Slice index 77, Axial view, Brain
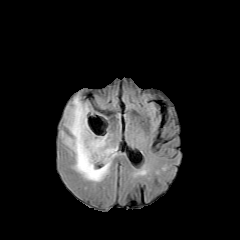
FLAIR MR image.
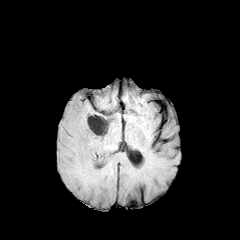
Same slice, T1-weighted MRI.
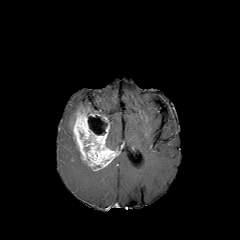
Post-contrast T1-weighted MRI of the same slice.
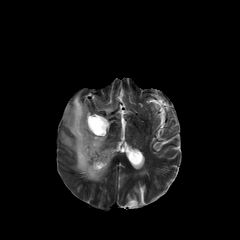
T2-weighted magnetic resonance.
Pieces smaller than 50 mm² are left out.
enhancing tumor: x1=70, y1=106, x2=118, y2=170 | peritumoral edema: x1=61, y1=131, x2=111, y2=181; x1=64, y1=94, x2=88, y2=136; x1=106, y1=137, x2=117, y2=149 | necrotic tumor core: x1=88, y1=115, x2=107, y2=135